FLAIR magnetic resonance.
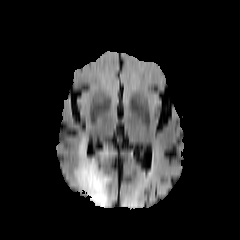
T1-weighted MR image.
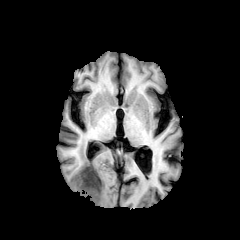
Post-contrast T1-weighted MRI.
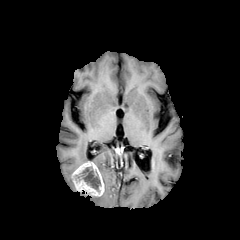
T2-weighted MR image.
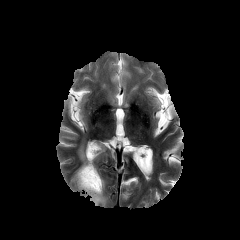
Brain | Axial slice
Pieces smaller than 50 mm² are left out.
The 2 largest peritumoral edema regions appear at x1=78, y1=138, x2=96, y2=166; x1=90, y1=170, x2=113, y2=207. The enhancing tumor lies within x1=72, y1=161, x2=104, y2=196. The necrotic tumor core is at x1=75, y1=167, x2=100, y2=191.